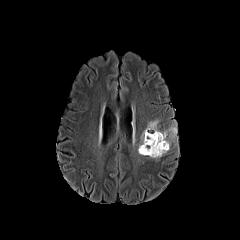
FLAIR magnetic resonance.
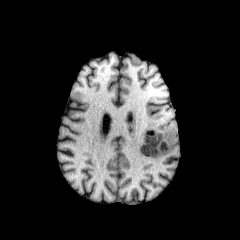
Same slice, T1-weighted MRI.
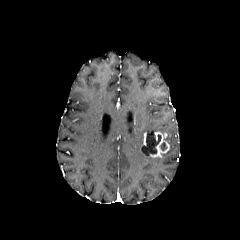
Post-contrast T1-weighted MR.
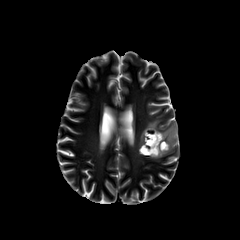
Same slice, T2-weighted MR.
240x240 px
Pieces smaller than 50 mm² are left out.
necrotic_tumor_core:
  - [141, 132, 161, 155]
peritumoral_edema:
  - [160, 123, 177, 145]
  - [138, 120, 159, 154]
enhancing_tumor:
  - [140, 130, 169, 157]